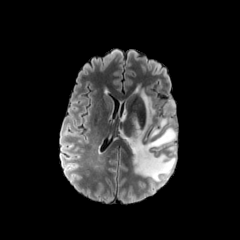
FLAIR MRI.
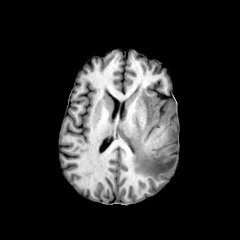
Same slice, T1-weighted MR image.
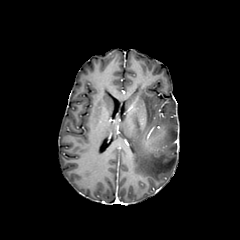
Post-contrast T1-weighted MR image.
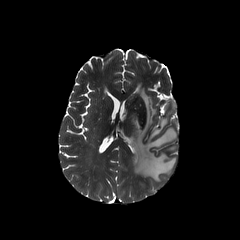
T2-weighted MR.
240x240; Axial view
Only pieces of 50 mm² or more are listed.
peritumoral edema: box=[120, 91, 176, 182]